FLAIR MR image.
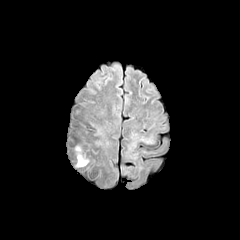
T1-weighted MR image.
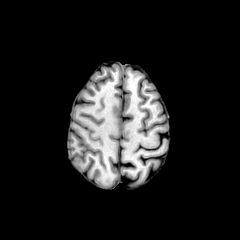
Post-contrast T1-weighted MR image.
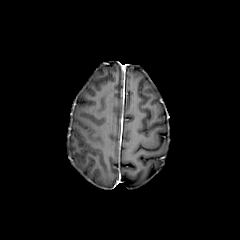
T2-weighted magnetic resonance.
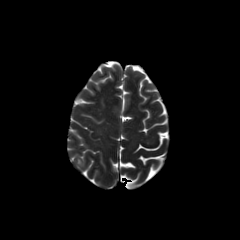
Axial view
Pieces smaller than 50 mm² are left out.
peritumoral_edema:
  - left=78, top=156, right=86, bottom=166